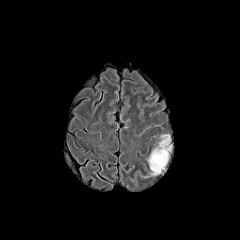
FLAIR magnetic resonance.
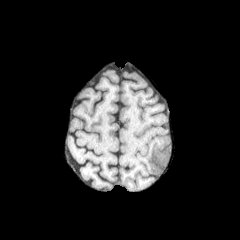
T1-weighted MR image.
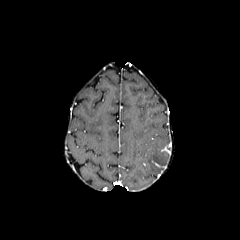
Post-contrast T1-weighted magnetic resonance of the same slice.
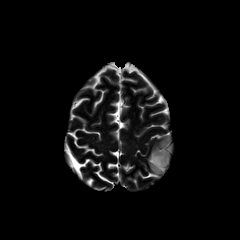
Same slice, T2-weighted MR image.
Axial view.
Annotated regions:
- peritumoral edema: (147, 134, 170, 174)